FLAIR MR.
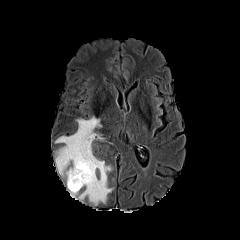
T1-weighted MRI.
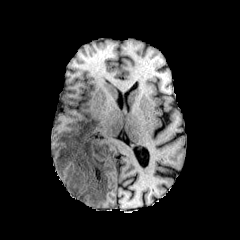
Post-contrast T1-weighted magnetic resonance.
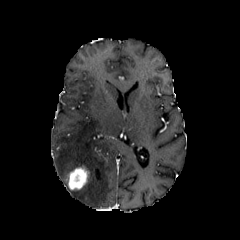
T2-weighted magnetic resonance.
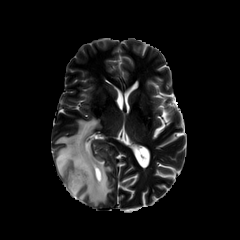
Brain. 240x240.
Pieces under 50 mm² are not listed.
peritumoral edema: bounding box bbox(55, 116, 112, 205)
enhancing tumor: bounding box bbox(67, 165, 89, 190)